Head; Image width 240 mm, 1.00 mm slice spacing; Image size 240x240
FLAIR magnetic resonance.
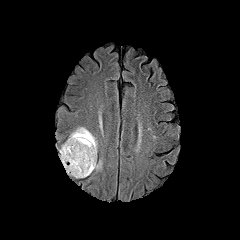
T1-weighted MR.
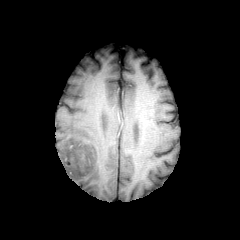
Post-contrast T1-weighted MR.
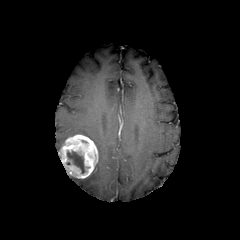
T2-weighted MRI.
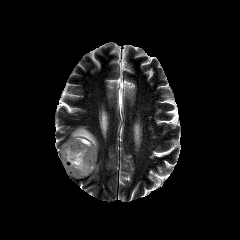
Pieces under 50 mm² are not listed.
The largest necrotic tumor core region appears at 67,151,84,173. The enhancing tumor is at 59,134,97,178. The largest peritumoral edema region is located at 70,127,97,148.